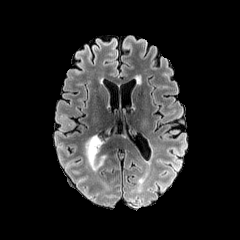
FLAIR MR.
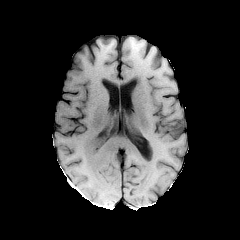
T1-weighted MR of the same slice.
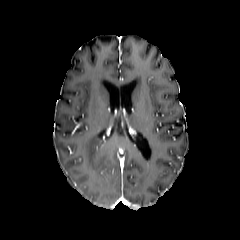
Same slice, post-contrast T1-weighted MR.
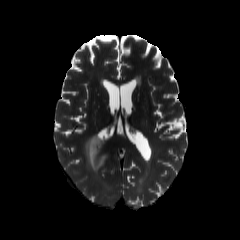
T2-weighted MRI.
Head
peritumoral edema at [85, 135, 106, 171]